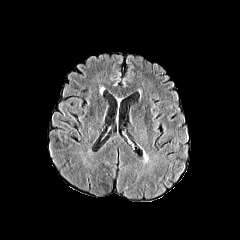
FLAIR magnetic resonance.
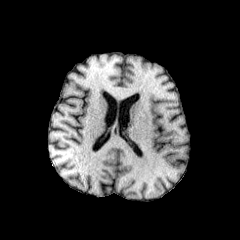
T1-weighted MR image of the same slice.
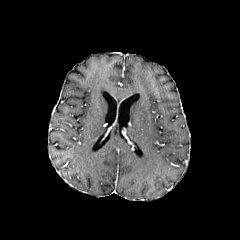
Post-contrast T1-weighted MR of the same slice.
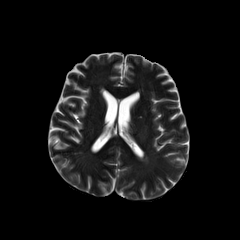
T2-weighted magnetic resonance.
peritumoral edema at 142 150 148 162